FLAIR magnetic resonance.
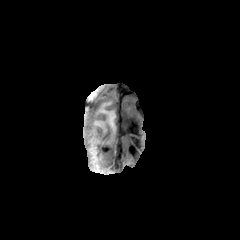
T1-weighted magnetic resonance.
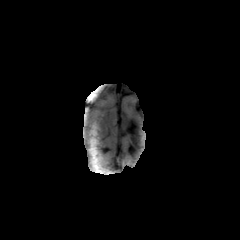
Post-contrast T1-weighted MR image.
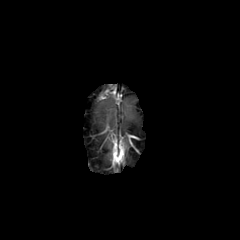
T2-weighted magnetic resonance.
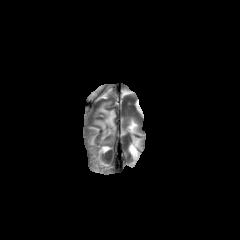
240x240 px
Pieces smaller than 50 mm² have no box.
The enhancing tumor is located at region(98, 87, 115, 99). The 2 largest peritumoral edema regions appear at region(90, 94, 116, 145); region(89, 85, 113, 100).